Image width 240 mm
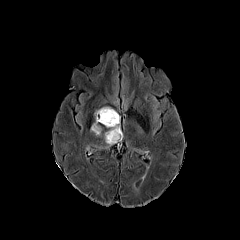
FLAIR magnetic resonance.
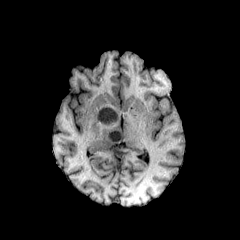
T1-weighted MRI.
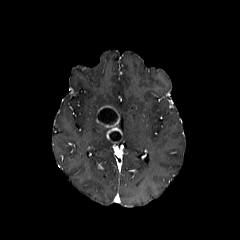
Post-contrast T1-weighted MR image.
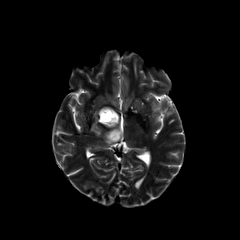
T2-weighted MRI.
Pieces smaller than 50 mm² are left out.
peritumoral edema = (90,111,101,136), (104,133,112,147)
necrotic tumor core = (109,131,121,141), (98,108,117,124)
enhancing tumor = (96,106,122,143)